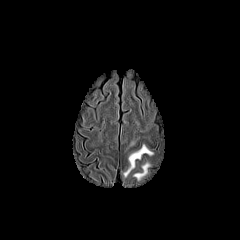
FLAIR magnetic resonance.
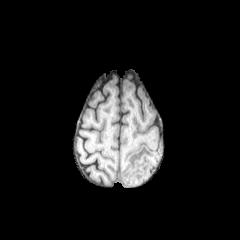
T1-weighted MR image.
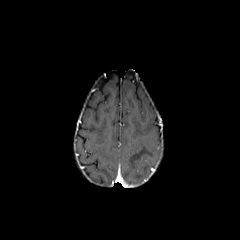
Post-contrast T1-weighted MR image.
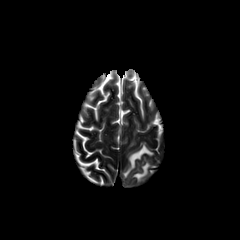
Same slice, T2-weighted magnetic resonance.
Brain; 240x240
peritumoral edema — [134, 163, 149, 180], [124, 145, 153, 176]